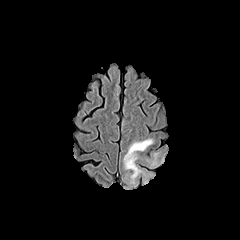
FLAIR MR.
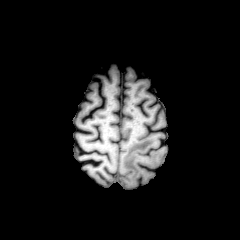
T1-weighted MR.
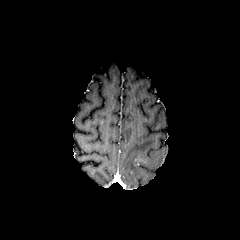
Same slice, post-contrast T1-weighted MR image.
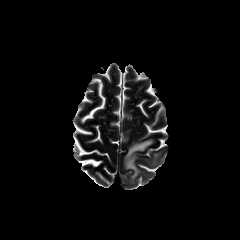
T2-weighted MRI of the same slice.
Image size 240x240
- peritumoral edema: (left=149, top=152, right=160, bottom=166), (left=124, top=138, right=154, bottom=184)